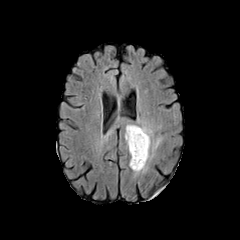
FLAIR magnetic resonance.
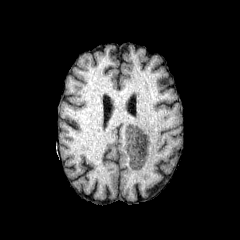
T1-weighted MR of the same slice.
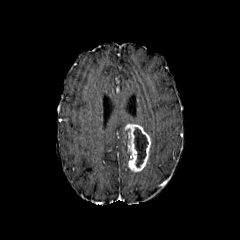
Post-contrast T1-weighted magnetic resonance of the same slice.
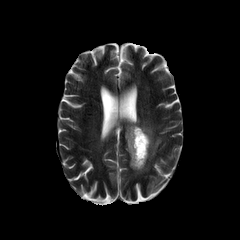
Same slice, T2-weighted MR image.
Head
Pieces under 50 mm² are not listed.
necrotic tumor core: region(134, 128, 148, 167) | enhancing tumor: region(125, 123, 151, 172) | peritumoral edema: region(135, 121, 161, 174)